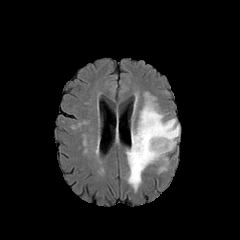
FLAIR MRI.
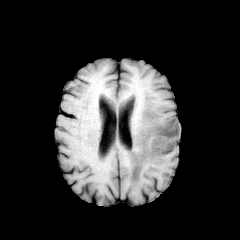
T1-weighted magnetic resonance.
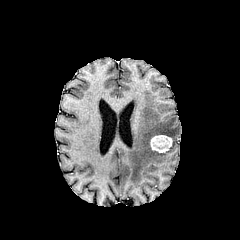
Post-contrast T1-weighted MR.
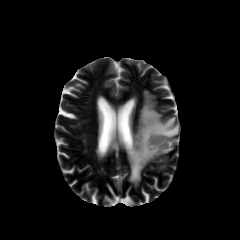
T2-weighted MRI of the same slice.
240x240. Axial slice. Brain.
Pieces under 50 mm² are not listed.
enhancing tumor = l=150, t=135, r=172, b=153
peritumoral edema = l=126, t=92, r=179, b=190